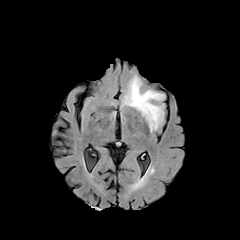
FLAIR MR.
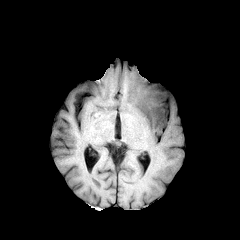
T1-weighted MRI of the same slice.
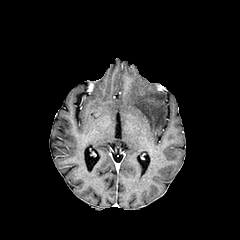
Post-contrast T1-weighted MR.
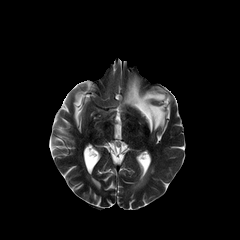
T2-weighted magnetic resonance of the same slice.
peritumoral edema: bounding box [x1=124, y1=76, x2=164, y2=131]